FLAIR MRI.
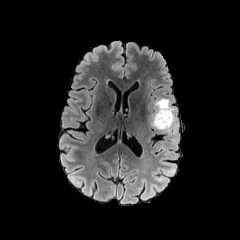
T1-weighted MRI.
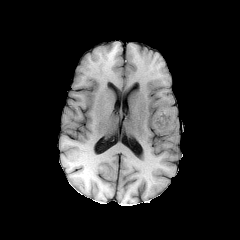
Post-contrast T1-weighted magnetic resonance.
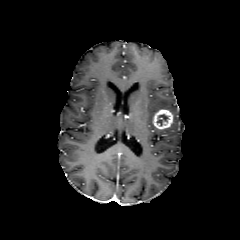
T2-weighted MR image.
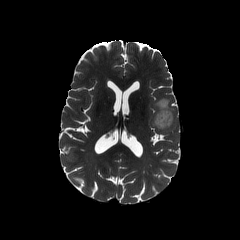
Axial view | Head
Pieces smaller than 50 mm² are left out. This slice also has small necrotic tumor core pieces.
enhancing tumor — box(153, 109, 173, 129)
peritumoral edema — box(154, 98, 176, 132)